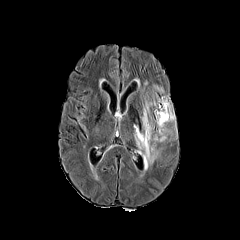
FLAIR magnetic resonance.
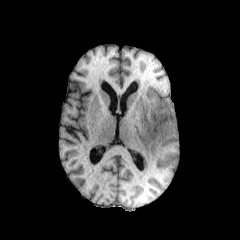
T1-weighted MR.
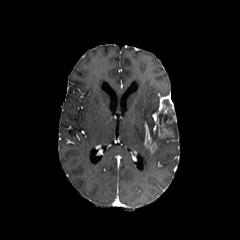
Post-contrast T1-weighted magnetic resonance of the same slice.
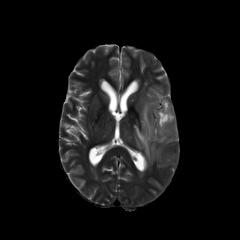
T2-weighted MRI.
Head
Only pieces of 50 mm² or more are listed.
necrotic tumor core — <box>158,111,172,132</box>
enhancing tumor — <box>144,121,156,152</box>, <box>152,96,176,138</box>
peritumoral edema — <box>134,93,167,166</box>, <box>165,121,177,137</box>